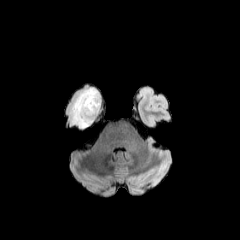
FLAIR MRI.
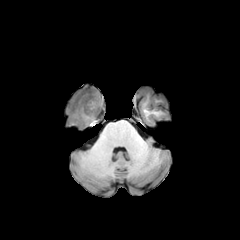
Same slice, T1-weighted MR image.
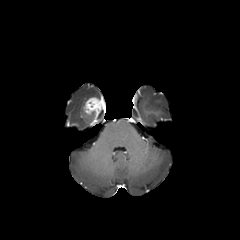
Post-contrast T1-weighted magnetic resonance.
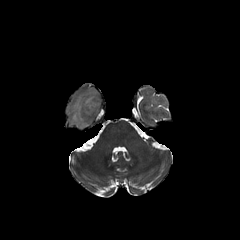
T2-weighted magnetic resonance of the same slice.
Head.
peritumoral edema: 69, 88, 100, 129 | enhancing tumor: 84, 97, 101, 122